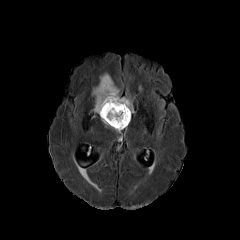
FLAIR MR.
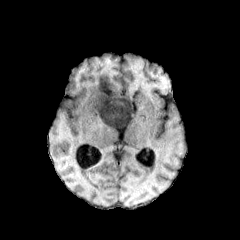
T1-weighted MRI.
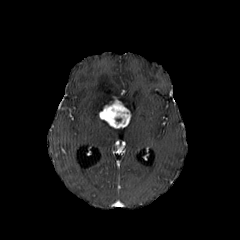
Same slice, post-contrast T1-weighted MRI.
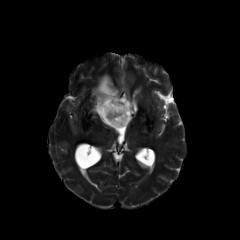
T2-weighted magnetic resonance.
Axial plane
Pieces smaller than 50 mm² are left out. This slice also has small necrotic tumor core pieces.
enhancing_tumor:
  - x1=99, y1=96, x2=130, y2=128
peritumoral_edema:
  - x1=92, y1=73, x2=133, y2=113
  - x1=102, y1=120, x2=122, y2=132